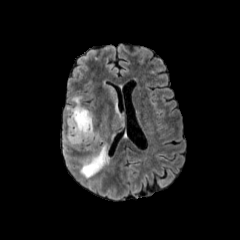
FLAIR MR image.
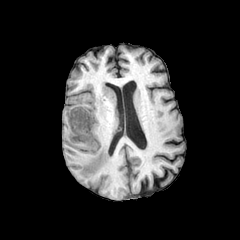
Same slice, T1-weighted magnetic resonance.
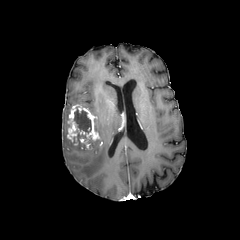
Post-contrast T1-weighted MR.
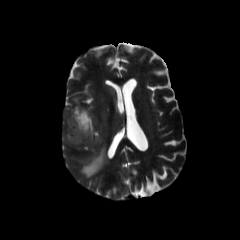
T2-weighted MR of the same slice.
Image size 240x240
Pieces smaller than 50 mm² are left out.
enhancing_tumor:
  - (left=66, top=105, right=99, bottom=150)
necrotic_tumor_core:
  - (left=77, top=132, right=86, bottom=141)
  - (left=74, top=108, right=91, bottom=133)
peritumoral_edema:
  - (left=80, top=82, right=122, bottom=177)
  - (left=64, top=106, right=71, bottom=125)
  - (left=71, top=97, right=81, bottom=104)
  - (left=63, top=130, right=71, bottom=157)